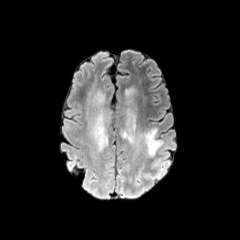
FLAIR MR.
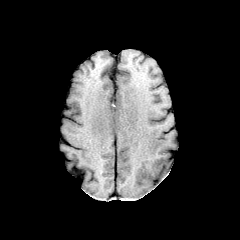
T1-weighted magnetic resonance of the same slice.
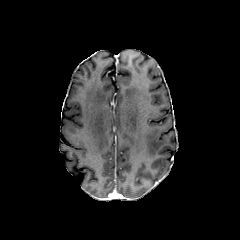
Post-contrast T1-weighted MR image.
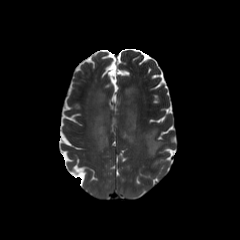
Same slice, T2-weighted MRI.
Brain, Axial slice
5 peritumoral edema regions are located at (x1=96, y1=91, x2=105, y2=105), (x1=135, y1=128, x2=161, y2=155), (x1=91, y1=112, x2=107, y2=150), (x1=121, y1=109, x2=135, y2=142), (x1=123, y1=92, x2=134, y2=102).